Image width 240 mm, 1.00 mm slice spacing, Slice 91/155, Axial slice, Head
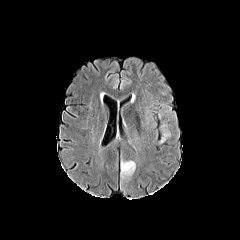
FLAIR magnetic resonance.
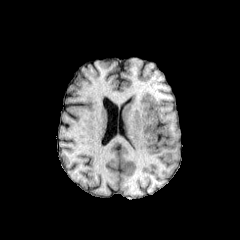
Same slice, T1-weighted MRI.
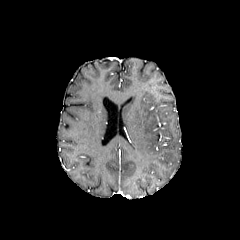
Same slice, post-contrast T1-weighted MR image.
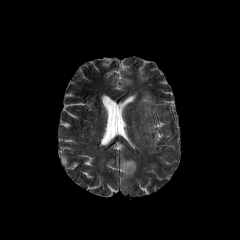
T2-weighted MR image.
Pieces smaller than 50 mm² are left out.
The largest peritumoral edema region lies within bbox(121, 161, 135, 178).